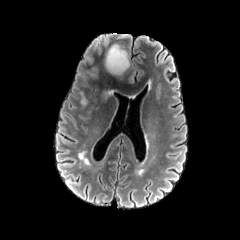
FLAIR magnetic resonance.
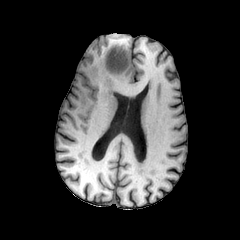
T1-weighted MRI.
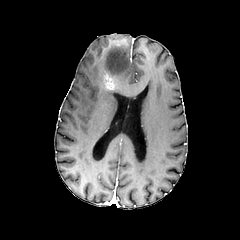
Post-contrast T1-weighted MR.
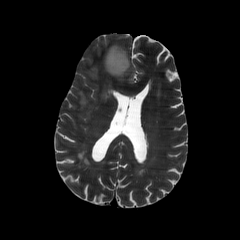
Same slice, T2-weighted MRI.
240x240; Axial view
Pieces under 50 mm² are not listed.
• peritumoral edema: (103, 88, 113, 99), (80, 92, 87, 105), (105, 45, 129, 75)
• enhancing tumor: (104, 74, 115, 90)